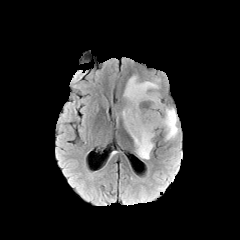
FLAIR MRI.
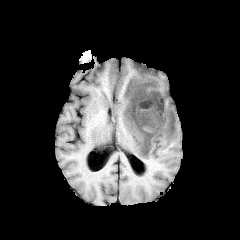
T1-weighted magnetic resonance of the same slice.
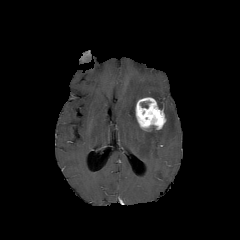
Post-contrast T1-weighted MRI of the same slice.
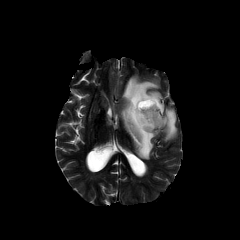
Same slice, T2-weighted MRI.
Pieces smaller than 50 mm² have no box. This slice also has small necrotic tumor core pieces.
enhancing tumor at (x1=135, y1=97, x2=166, y2=131)
peritumoral edema at (x1=121, y1=76, x2=163, y2=159), (x1=163, y1=107, x2=178, y2=140)